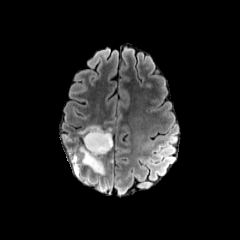
FLAIR MR.
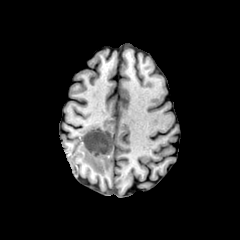
T1-weighted MR.
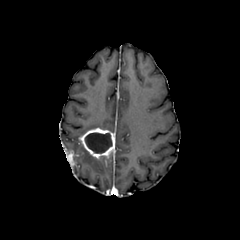
Post-contrast T1-weighted magnetic resonance.
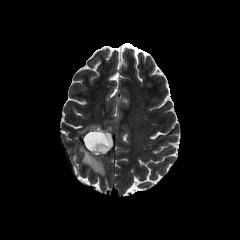
T2-weighted MRI.
Head | Image size 240x240 | Axial view
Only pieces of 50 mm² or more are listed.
The 2 largest peritumoral edema regions are bounded by bbox(80, 125, 102, 135); bbox(79, 146, 105, 174). The largest enhancing tumor region appears at bbox(80, 128, 114, 159). The necrotic tumor core is located at bbox(85, 133, 112, 153).